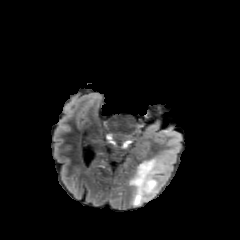
FLAIR MRI.
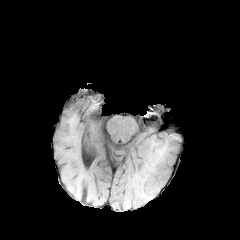
T1-weighted MR image.
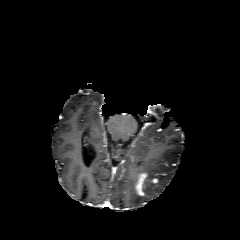
Post-contrast T1-weighted MRI of the same slice.
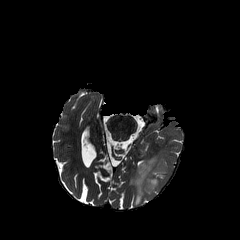
Same slice, T2-weighted MR image.
Image size 240x240; Head
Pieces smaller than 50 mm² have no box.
peritumoral edema = 129, 157, 167, 205
enhancing tumor = 136, 173, 146, 195